240x240 px, Brain
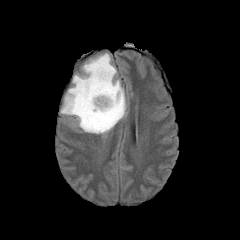
FLAIR MR image.
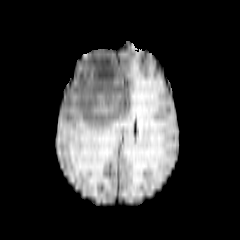
T1-weighted MR image.
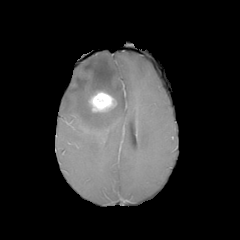
Post-contrast T1-weighted MR.
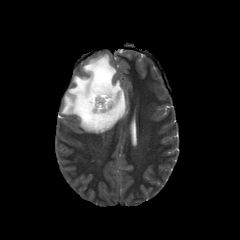
T2-weighted MR image.
The enhancing tumor is located at {"x1": 88, "y1": 90, "x2": 116, "y2": 112}. The peritumoral edema is at {"x1": 61, "y1": 53, "x2": 126, "y2": 134}.